Axial slice, Slice 117 of 155
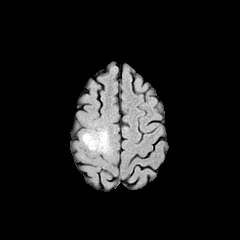
FLAIR MRI.
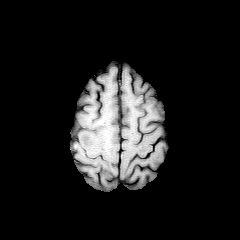
T1-weighted MR image.
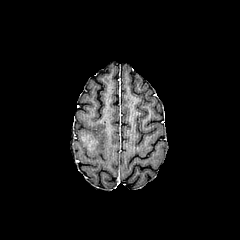
Same slice, post-contrast T1-weighted MR image.
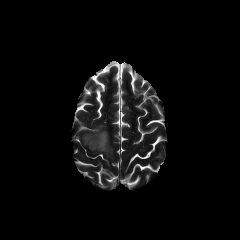
T2-weighted MRI of the same slice.
{"peritumoral_edema": ["(left=80, top=128, right=115, bottom=156)"], "enhancing_tumor": ["(left=82, top=135, right=99, bottom=152)"]}